Image covers 240 mm x 240 mm, Brain, 240x240 px, Axial plane
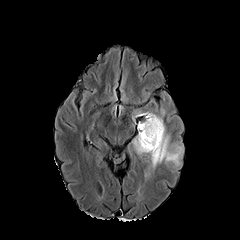
FLAIR MR.
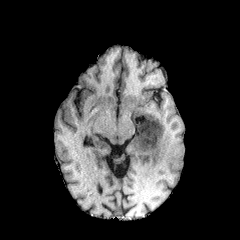
T1-weighted MRI.
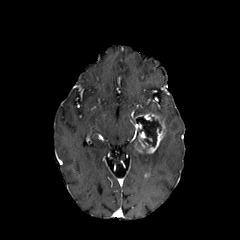
Same slice, post-contrast T1-weighted magnetic resonance.
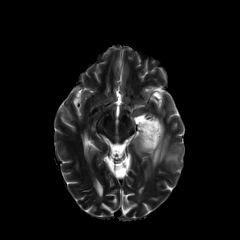
T2-weighted MR.
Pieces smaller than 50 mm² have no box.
Findings:
• necrotic tumor core: box(135, 117, 161, 147)
• peritumoral edema: box(150, 130, 182, 168)
• enhancing tumor: box(135, 113, 165, 153)